FLAIR MR.
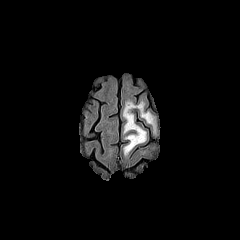
T1-weighted MR.
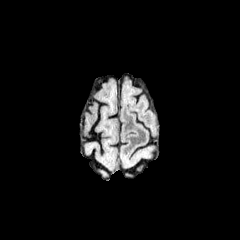
Post-contrast T1-weighted MRI.
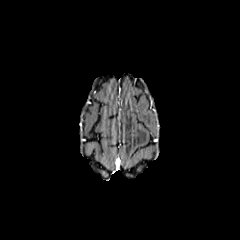
T2-weighted magnetic resonance.
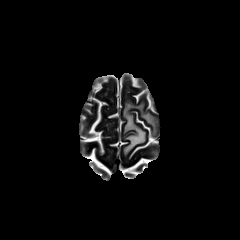
Brain. Axial view. Image size 240x240.
peritumoral_edema:
  - x1=123, y1=101, x2=155, y2=155